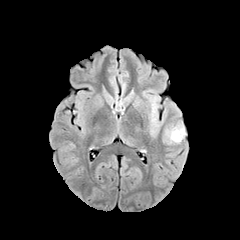
FLAIR MR.
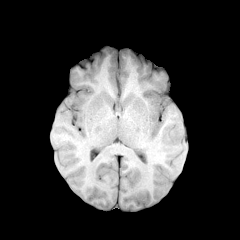
T1-weighted MR image.
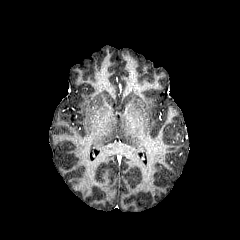
Same slice, post-contrast T1-weighted magnetic resonance.
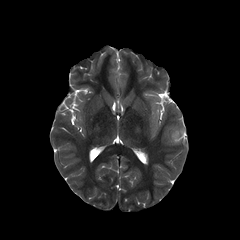
T2-weighted MRI.
Brain
peritumoral edema — (x1=164, y1=125, x2=185, y2=143)